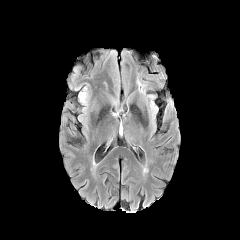
FLAIR magnetic resonance.
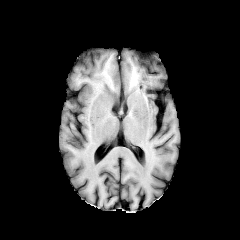
Same slice, T1-weighted magnetic resonance.
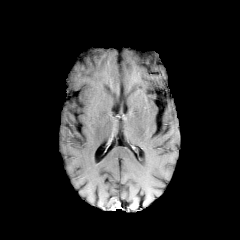
Post-contrast T1-weighted magnetic resonance of the same slice.
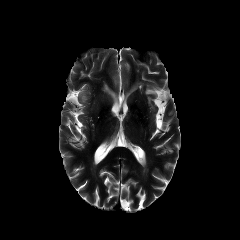
T2-weighted MRI of the same slice.
240x240 px, Axial view
<segmentation>
  <peritumoral_edema>(x1=80, y1=92, x2=86, y2=101)</peritumoral_edema>
</segmentation>